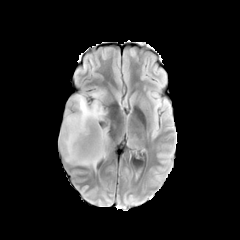
FLAIR MR.
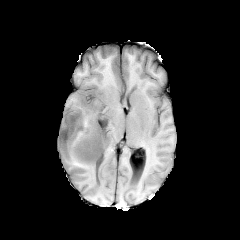
T1-weighted MR image.
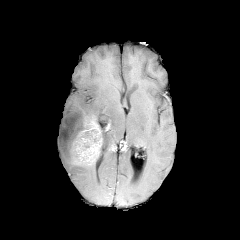
Post-contrast T1-weighted MR.
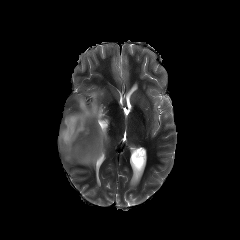
T2-weighted MR image.
240x240 px, Brain
The peritumoral edema is bounded by 59,90,108,168. The enhancing tumor appears at 72,118,108,164.